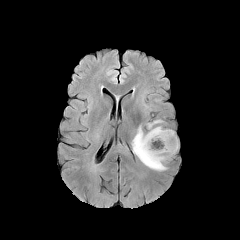
FLAIR magnetic resonance.
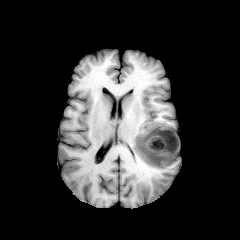
T1-weighted magnetic resonance of the same slice.
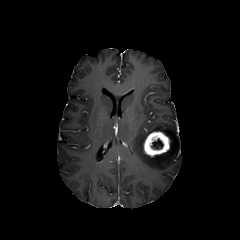
Post-contrast T1-weighted MR image.
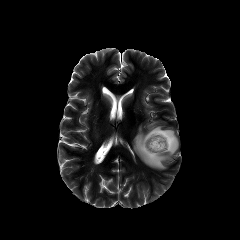
T2-weighted MR.
Axial view | Brain | 240x240
enhancing tumor — left=143, top=131, right=170, bottom=156
peritumoral edema — left=132, top=120, right=178, bottom=170
necrotic tumor core — left=152, top=139, right=163, bottom=149